Brain | 240x240
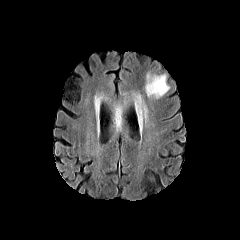
FLAIR MR image.
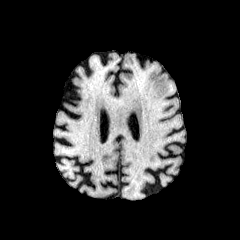
T1-weighted MR of the same slice.
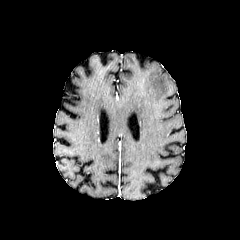
Post-contrast T1-weighted magnetic resonance.
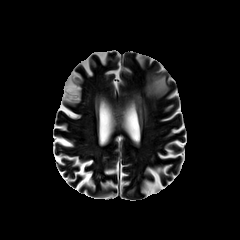
T2-weighted magnetic resonance of the same slice.
Annotated regions:
• peritumoral edema: <box>145,72,169,98</box>, <box>134,94,146,118</box>